FLAIR MRI.
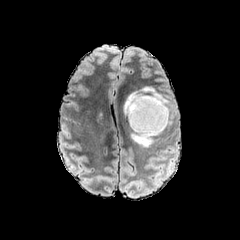
T1-weighted MR.
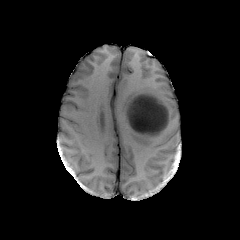
Post-contrast T1-weighted MR.
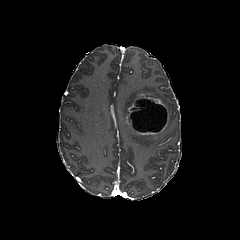
T2-weighted MRI.
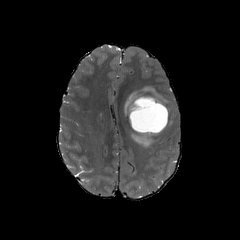
Head
peritumoral_edema:
  - region(124, 92, 138, 115)
  - region(131, 130, 153, 147)
  - region(140, 87, 165, 103)
necrotic_tumor_core:
  - region(130, 99, 166, 132)
enhancing_tumor:
  - region(127, 94, 168, 135)